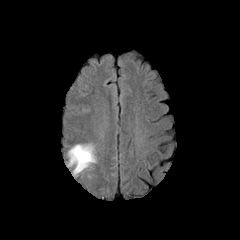
FLAIR MRI.
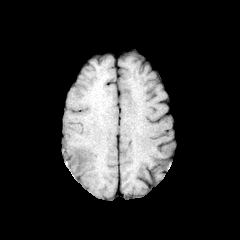
T1-weighted MR image.
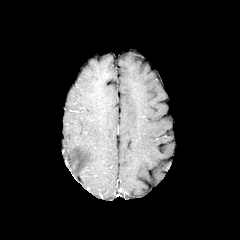
Post-contrast T1-weighted MR image.
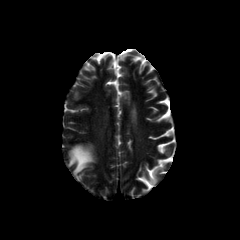
T2-weighted MR image.
Axial slice. Brain.
{
  "peritumoral_edema": [
    "68,144,96,176"
  ]
}